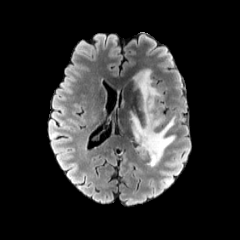
FLAIR MRI.
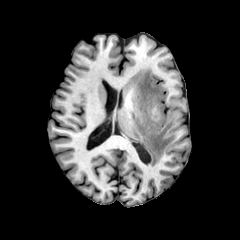
T1-weighted MR.
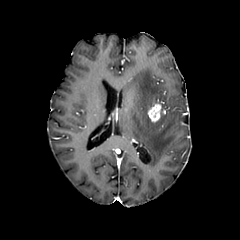
Post-contrast T1-weighted MR image.
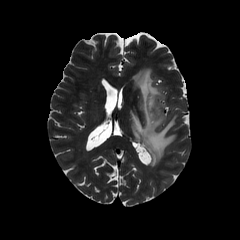
T2-weighted MRI.
Axial plane
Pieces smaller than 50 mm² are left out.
Annotated regions:
* enhancing tumor: region(147, 101, 161, 122)
* peritumoral edema: region(130, 68, 176, 166)